FLAIR MR image.
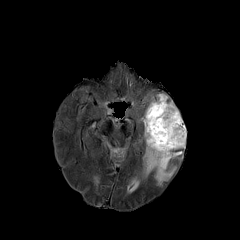
T1-weighted MR image.
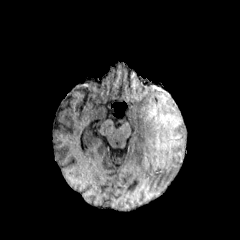
Post-contrast T1-weighted MRI.
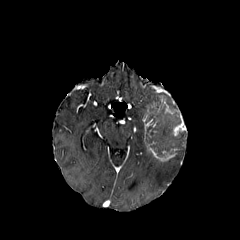
T2-weighted MR image.
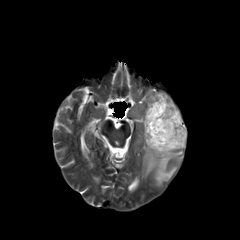
Axial plane | Brain
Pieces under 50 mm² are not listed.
The 2 largest peritumoral edema regions are located at box(143, 148, 176, 185); box(157, 94, 167, 102). The necrotic tumor core is at box(145, 101, 186, 156). The 3 largest enhancing tumor regions are bounded by box(146, 141, 176, 161); box(161, 99, 186, 136); box(142, 108, 157, 138).